FLAIR MR image.
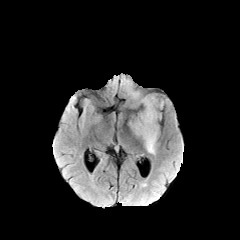
T1-weighted MR image.
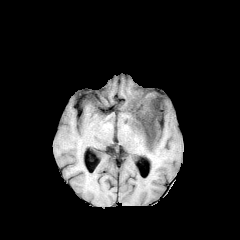
Post-contrast T1-weighted MR.
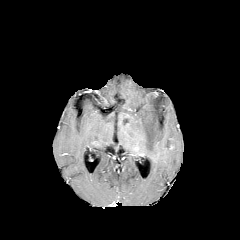
T2-weighted magnetic resonance.
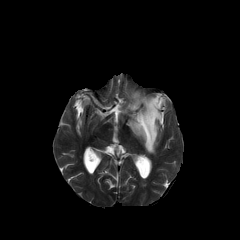
Head. Axial plane. 240x240.
Findings:
• peritumoral edema: box=[130, 90, 163, 153]